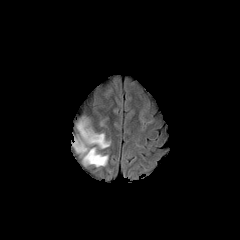
FLAIR MRI.
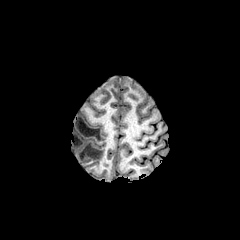
Same slice, T1-weighted magnetic resonance.
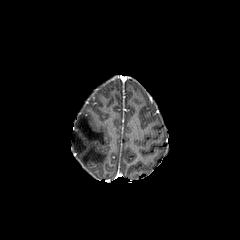
Post-contrast T1-weighted magnetic resonance of the same slice.
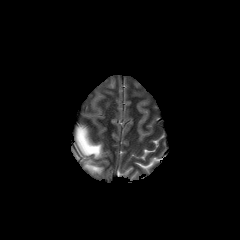
T2-weighted MR of the same slice.
Head; Axial view; Image size 240x240
The peritumoral edema lies within <box>72,119,109,167</box>.